240x240, Slice 121/155, Head
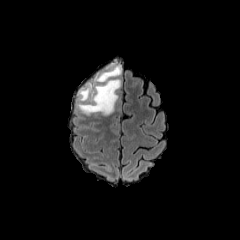
FLAIR MR.
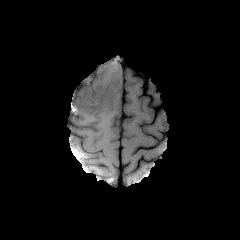
T1-weighted magnetic resonance.
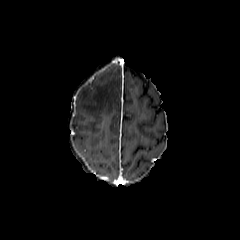
Post-contrast T1-weighted MRI.
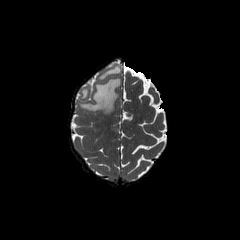
T2-weighted MR image.
The peritumoral edema is bounded by bbox(78, 63, 121, 115).